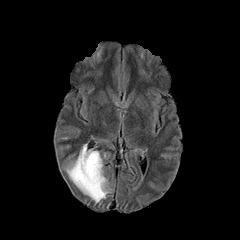
FLAIR MR image.
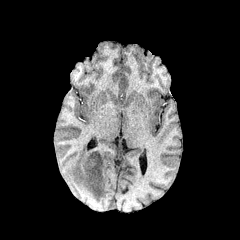
T1-weighted MR image.
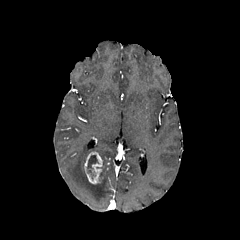
Same slice, post-contrast T1-weighted MRI.
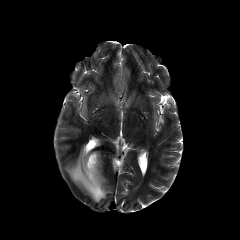
T2-weighted MR image.
Brain; Image size 240x240; Axial slice
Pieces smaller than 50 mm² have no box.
The enhancing tumor is located at <box>84,151,102,184</box>. The largest peritumoral edema region is bounded by <box>65,144,110,202</box>. The necrotic tumor core is bounded by <box>87,155,98,178</box>.